Axial slice; 240x240 px
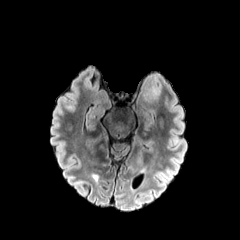
FLAIR MR.
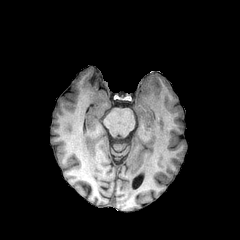
T1-weighted MRI.
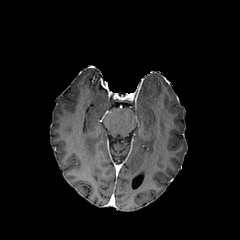
Post-contrast T1-weighted magnetic resonance.
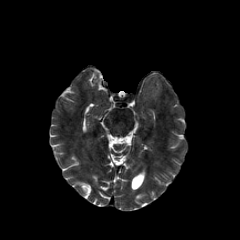
Same slice, T2-weighted MR image.
peritumoral edema: region(146, 90, 157, 99)